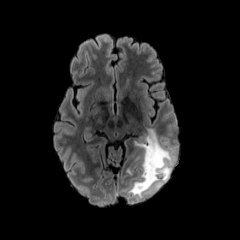
FLAIR MRI.
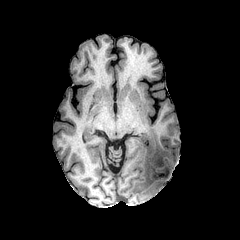
T1-weighted MR.
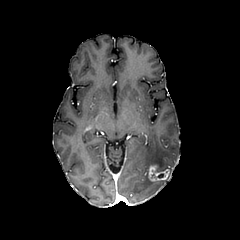
Post-contrast T1-weighted MRI.
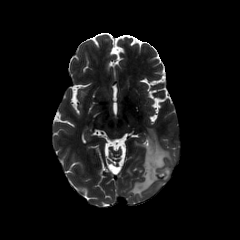
T2-weighted magnetic resonance of the same slice.
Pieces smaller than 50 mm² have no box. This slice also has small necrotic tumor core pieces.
The largest peritumoral edema region is located at {"x1": 129, "y1": 128, "x2": 174, "y2": 197}. The enhancing tumor lies within {"x1": 148, "y1": 164, "x2": 169, "y2": 181}.